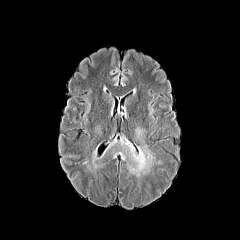
FLAIR MRI.
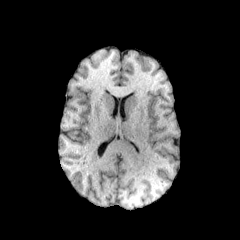
Same slice, T1-weighted MRI.
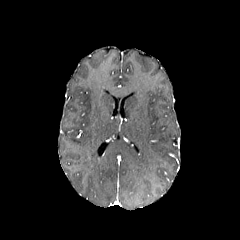
Same slice, post-contrast T1-weighted MRI.
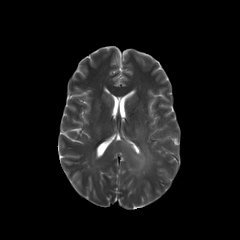
T2-weighted magnetic resonance.
Axial plane | Brain
2 peritumoral edema regions are located at <bbox>107, 126, 155, 176</bbox>, <bbox>85, 149, 103, 175</bbox>.